Image size 240x240; Slice 85 of 155; Axial slice
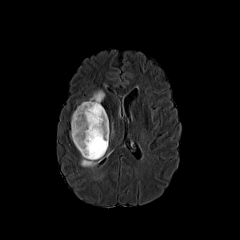
FLAIR MR image.
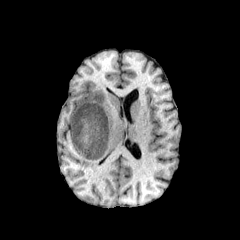
Same slice, T1-weighted magnetic resonance.
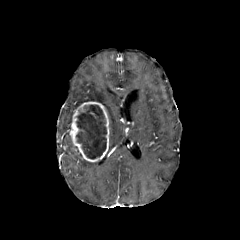
Post-contrast T1-weighted MRI.
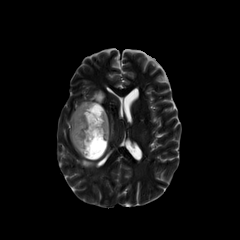
T2-weighted MRI of the same slice.
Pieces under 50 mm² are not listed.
enhancing tumor at bbox(70, 101, 109, 162)
peritumoral edema at bbox(89, 90, 105, 103); bbox(81, 157, 99, 168)
necrotic tumor core at bbox(76, 105, 106, 159)